FLAIR MRI.
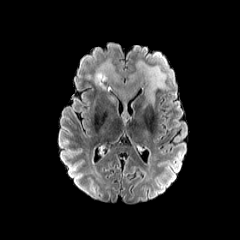
T1-weighted magnetic resonance.
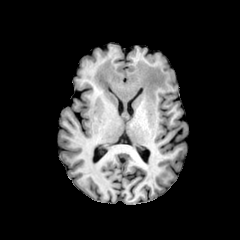
Post-contrast T1-weighted magnetic resonance.
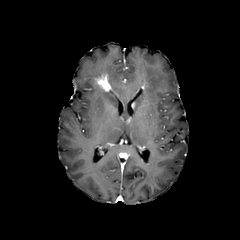
T2-weighted magnetic resonance.
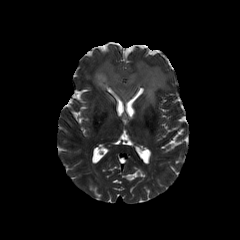
Axial view
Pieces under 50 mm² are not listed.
<segmentation>
  <enhancing_tumor>x1=95, y1=74, x2=111, y2=91</enhancing_tumor>
  <peritumoral_edema>x1=94, y1=60, x2=171, y2=103</peritumoral_edema>
</segmentation>